240x240 px, Axial view, Slice index 85
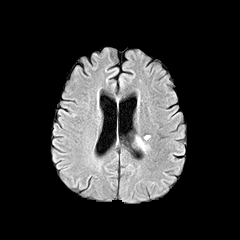
FLAIR magnetic resonance.
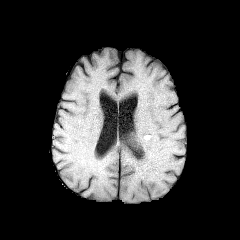
T1-weighted MR.
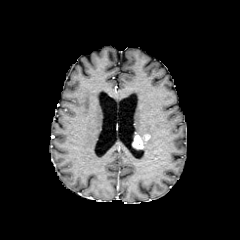
Post-contrast T1-weighted MR image.
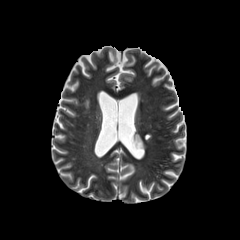
T2-weighted MRI.
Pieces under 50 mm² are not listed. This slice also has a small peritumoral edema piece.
The enhancing tumor is located at bbox(133, 135, 143, 148).